Head
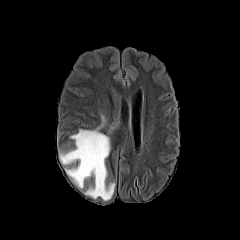
FLAIR MR.
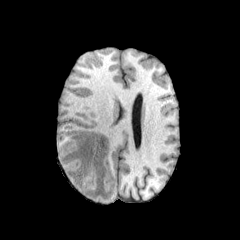
Same slice, T1-weighted MR.
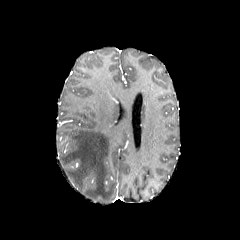
Post-contrast T1-weighted MRI.
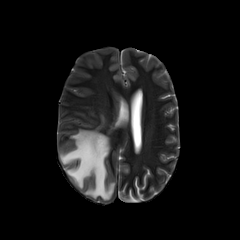
T2-weighted MR of the same slice.
peritumoral_edema:
  - (60, 129, 114, 200)